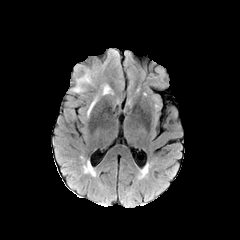
FLAIR MR image.
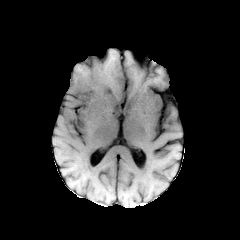
T1-weighted MRI.
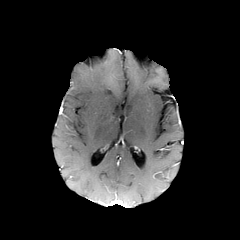
Post-contrast T1-weighted magnetic resonance.
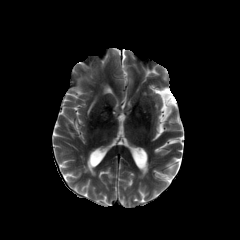
T2-weighted MR image.
Brain; Axial slice
Annotated regions:
- peritumoral edema: [x1=103, y1=85, x2=110, y2=94], [x1=87, y1=99, x2=96, y2=115], [x1=73, y1=75, x2=90, y2=92]